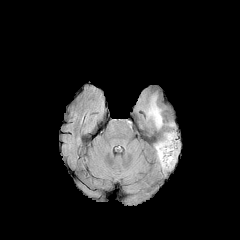
FLAIR MRI.
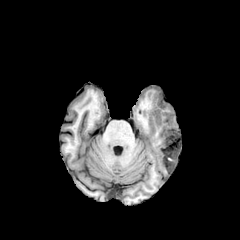
T1-weighted MR image of the same slice.
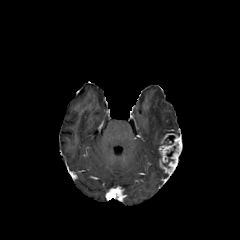
Post-contrast T1-weighted MRI.
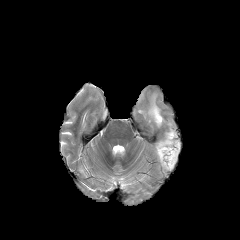
Same slice, T2-weighted MR image.
Axial plane
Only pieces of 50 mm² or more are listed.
necrotic tumor core at bbox(162, 135, 175, 144); bbox(163, 146, 175, 166)
enhancing tumor at bbox(158, 133, 182, 172)
peritumoral edema at bbox(155, 142, 161, 160); bbox(148, 98, 162, 127)